FLAIR MRI.
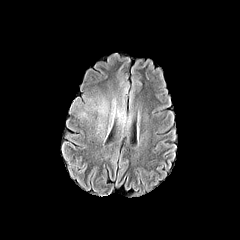
T1-weighted MR image.
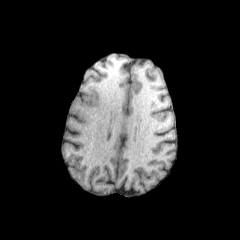
Post-contrast T1-weighted MR.
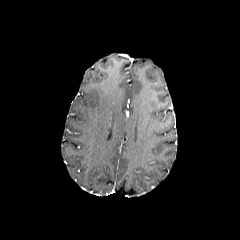
T2-weighted MRI.
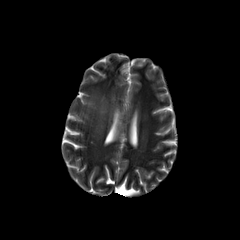
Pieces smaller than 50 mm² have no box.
The largest peritumoral edema region is located at box=[111, 106, 125, 125].